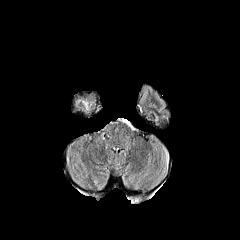
FLAIR MR image.
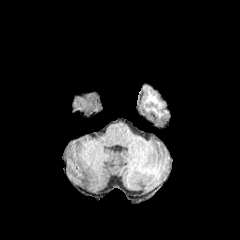
T1-weighted MR of the same slice.
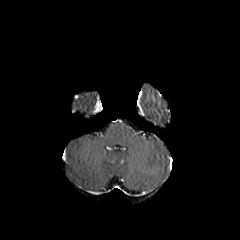
Post-contrast T1-weighted magnetic resonance.
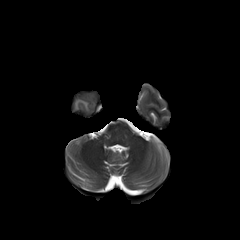
T2-weighted magnetic resonance.
peritumoral_edema:
  - {"x1": 76, "y1": 100, "x2": 88, "y2": 109}